Head. Axial slice.
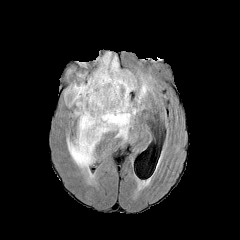
FLAIR MRI.
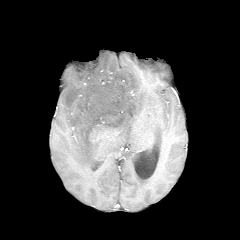
T1-weighted magnetic resonance.
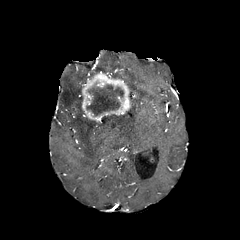
Post-contrast T1-weighted magnetic resonance of the same slice.
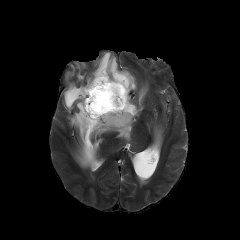
T2-weighted MR image.
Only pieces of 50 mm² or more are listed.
enhancing tumor at <bbox>79, 71, 131, 121</bbox>
necrotic tumor core at <bbox>87, 85, 123, 115</bbox>
peritumoral edema at <bbox>91, 52, 136, 91</bbox>, <bbox>137, 82, 148, 102</bbox>, <bbox>63, 82, 138, 170</bbox>